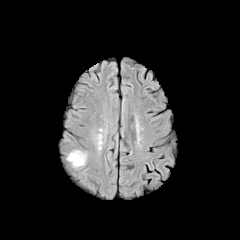
FLAIR MR.
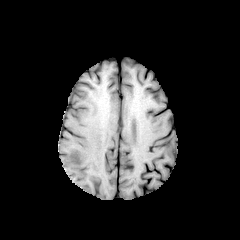
T1-weighted MRI.
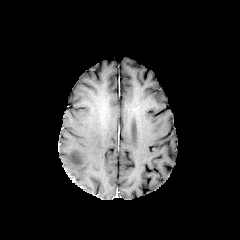
Post-contrast T1-weighted magnetic resonance of the same slice.
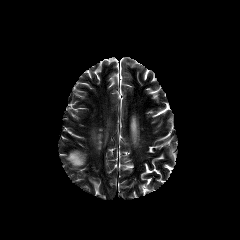
T2-weighted MRI.
Brain.
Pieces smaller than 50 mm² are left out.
peritumoral edema = [67,151,86,166]